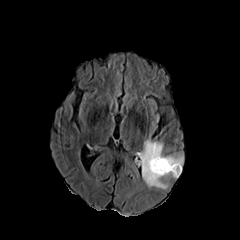
FLAIR MR image.
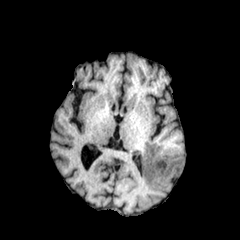
T1-weighted MR image of the same slice.
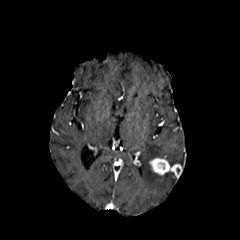
Post-contrast T1-weighted MRI.
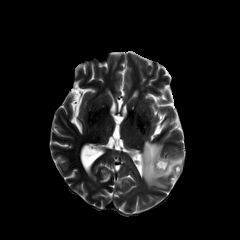
T2-weighted magnetic resonance.
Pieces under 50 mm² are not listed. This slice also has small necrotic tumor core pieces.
The enhancing tumor is at {"x1": 149, "y1": 158, "x2": 181, "y2": 176}. 2 peritumoral edema regions are bounded by {"x1": 166, "y1": 154, "x2": 183, "y2": 165}, {"x1": 140, "y1": 139, "x2": 175, "y2": 189}.